Image width 240 mm, 1.00 mm slice spacing, Axial view
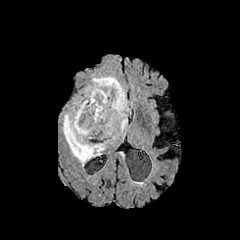
FLAIR MR image.
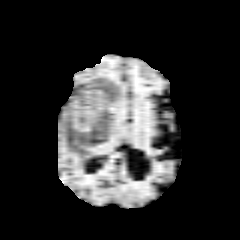
T1-weighted magnetic resonance of the same slice.
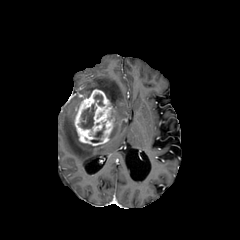
Same slice, post-contrast T1-weighted MRI.
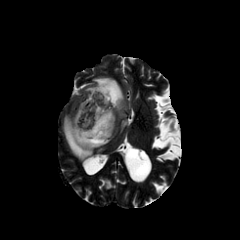
T2-weighted MR.
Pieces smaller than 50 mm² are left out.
enhancing tumor = 74:89:115:145
necrotic tumor core = 80:104:94:128, 91:126:104:142, 94:94:103:105
peritumoral edema = 62:76:130:165